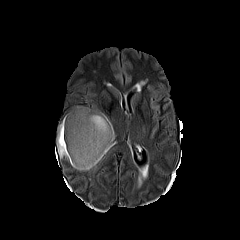
FLAIR MRI.
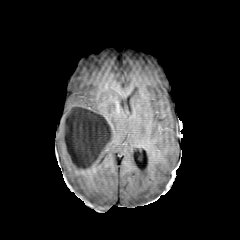
Same slice, T1-weighted MR image.
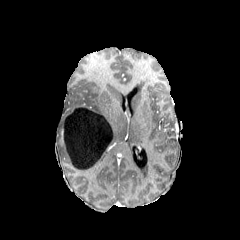
Post-contrast T1-weighted MR of the same slice.
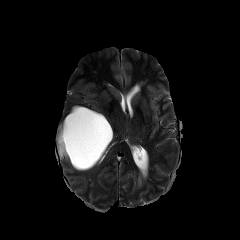
Same slice, T2-weighted MR.
Brain. Axial plane.
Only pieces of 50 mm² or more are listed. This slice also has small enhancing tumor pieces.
necrotic tumor core — (x1=62, y1=107, x2=112, y2=168)
peritumoral edema — (x1=56, y1=105, x2=115, y2=171)